FLAIR MRI.
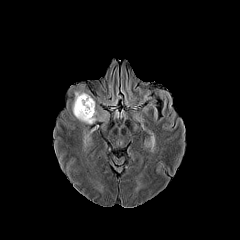
T1-weighted MR image.
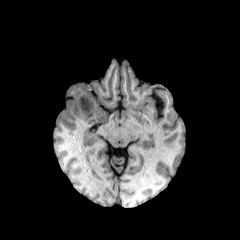
Post-contrast T1-weighted magnetic resonance.
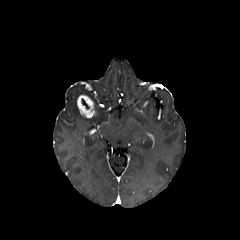
T2-weighted magnetic resonance.
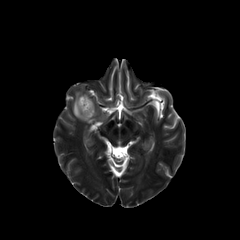
Image size 240x240
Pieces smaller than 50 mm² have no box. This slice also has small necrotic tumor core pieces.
enhancing tumor: x1=77, y1=95, x2=95, y2=117 | peritumoral edema: x1=72, y1=91, x2=107, y2=124